Brain, Axial view, Slice 64/155, Image width 240 mm, 1.00 mm slice spacing
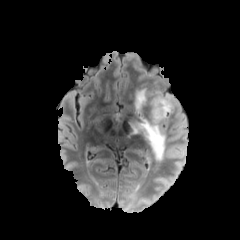
FLAIR MR.
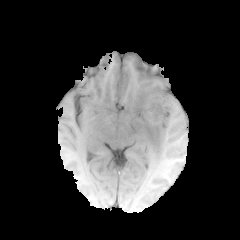
Same slice, T1-weighted MR.
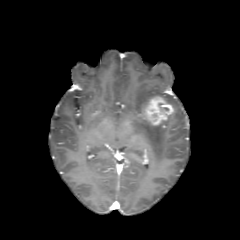
Same slice, post-contrast T1-weighted MR.
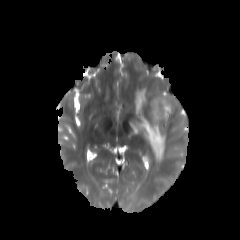
T2-weighted MR image of the same slice.
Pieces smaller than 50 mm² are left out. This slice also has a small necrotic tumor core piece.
The enhancing tumor is at <bbox>142, 96, 173, 125</bbox>. The 3 largest peritumoral edema regions are located at <bbox>135, 89, 145, 113</bbox>, <bbox>163, 94, 173, 106</bbox>, <bbox>133, 116, 165, 161</bbox>.